Slice index 91
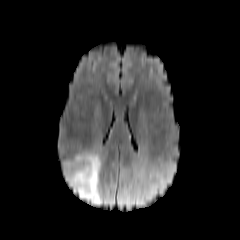
FLAIR MR image.
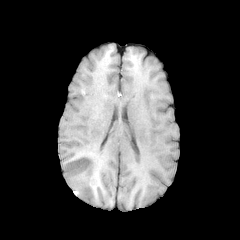
T1-weighted magnetic resonance.
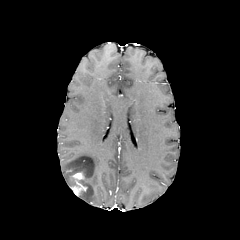
Post-contrast T1-weighted MR image of the same slice.
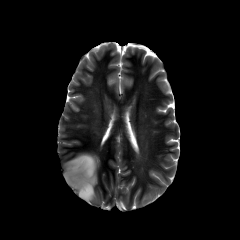
Same slice, T2-weighted MR image.
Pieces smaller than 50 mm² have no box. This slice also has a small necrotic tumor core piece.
The enhancing tumor is located at 71:172:87:195. The peritumoral edema appears at 64:152:101:204.